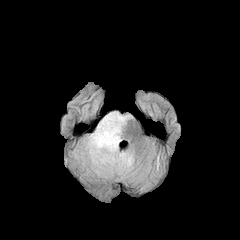
FLAIR MR.
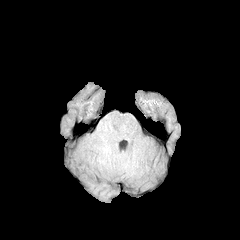
T1-weighted magnetic resonance.
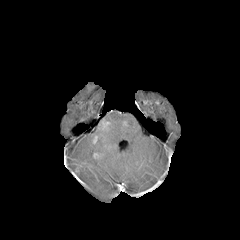
Post-contrast T1-weighted MRI of the same slice.
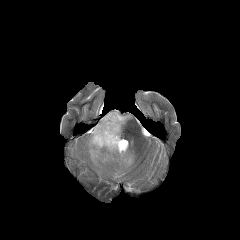
T2-weighted magnetic resonance.
240x240 px | Axial slice
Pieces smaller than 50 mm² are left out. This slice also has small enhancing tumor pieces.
<segmentation>
  <peritumoral_edema>74, 111, 134, 177</peritumoral_edema>
</segmentation>